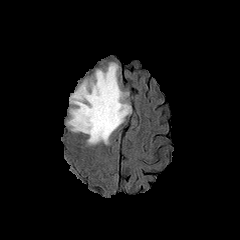
FLAIR magnetic resonance.
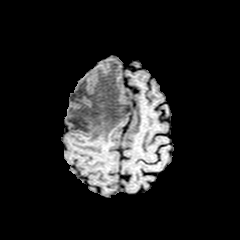
T1-weighted MR.
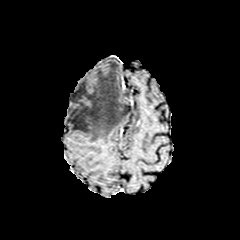
Same slice, post-contrast T1-weighted MRI.
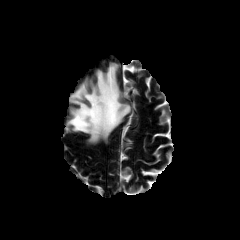
T2-weighted magnetic resonance.
Brain; Axial slice; Image size 240x240
The peritumoral edema is bounded by bbox=[67, 62, 131, 144].